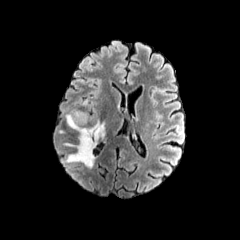
FLAIR MR.
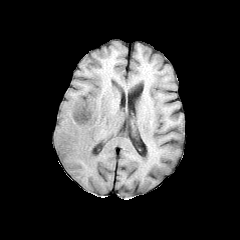
T1-weighted MR of the same slice.
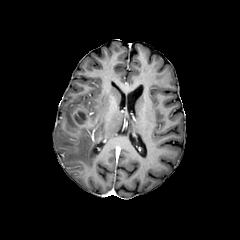
Post-contrast T1-weighted MRI.
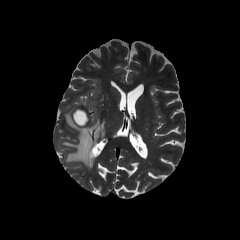
T2-weighted magnetic resonance.
Axial plane
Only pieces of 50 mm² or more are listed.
peritumoral edema: bounding box box=[63, 109, 105, 168]
necrotic tumor core: bounding box box=[75, 112, 86, 123]
enhancing tumor: bounding box box=[73, 108, 90, 127]